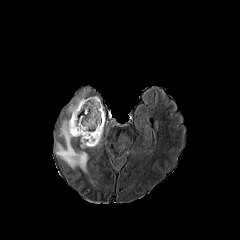
FLAIR MR.
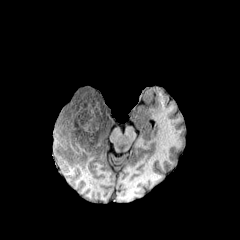
T1-weighted MR.
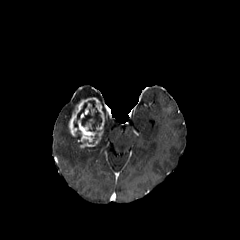
Post-contrast T1-weighted MRI.
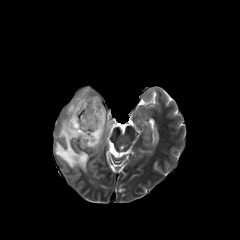
T2-weighted MR image.
Head | Axial plane
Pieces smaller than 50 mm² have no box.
peritumoral edema: bounding box <box>55,87,99,172</box>
enhancing tumor: bounding box <box>68,97,106,148</box>
necrotic tumor core: bounding box <box>77,100,101,131</box>